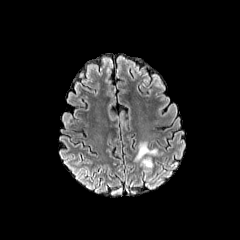
FLAIR MRI.
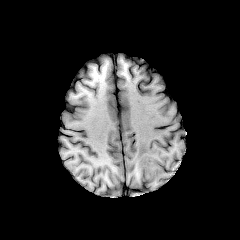
T1-weighted MR image of the same slice.
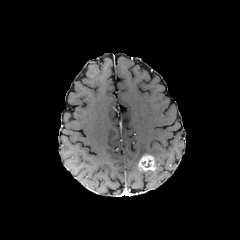
Same slice, post-contrast T1-weighted MR.
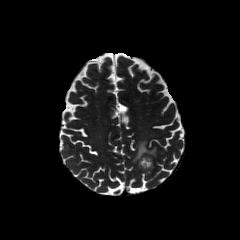
T2-weighted MR of the same slice.
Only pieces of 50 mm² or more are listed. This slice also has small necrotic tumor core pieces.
enhancing tumor: bbox(138, 155, 154, 171) | peritumoral edema: bbox(135, 142, 158, 162)